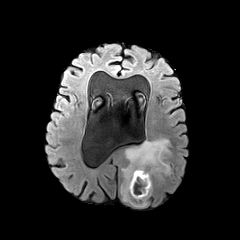
FLAIR MR image.
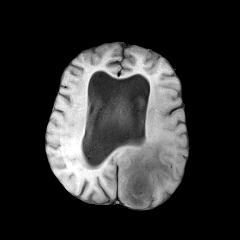
T1-weighted MR image of the same slice.
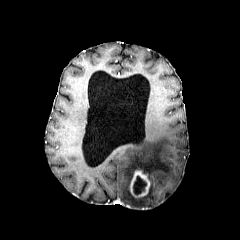
Post-contrast T1-weighted MRI of the same slice.
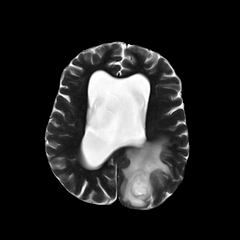
Same slice, T2-weighted magnetic resonance.
240x240 px | Head
The necrotic tumor core is bounded by 133 176 146 194. The enhancing tumor lies within 129 170 150 197. The peritumoral edema is at 121 138 170 206.